FLAIR MR.
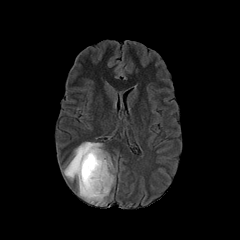
T1-weighted MR image.
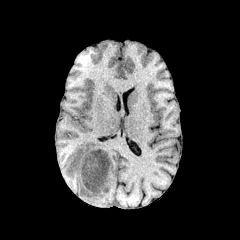
Post-contrast T1-weighted MR image.
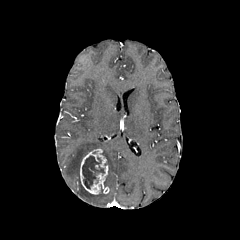
T2-weighted MR.
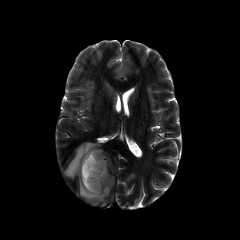
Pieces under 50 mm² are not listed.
necrotic tumor core at <box>82,156,104,188</box>
peritumoral edema at <box>102,149,114,190</box>, <box>64,142,109,205</box>
enhancing tumor at <box>80,149,109,194</box>